Slice 32 of 155.
FLAIR MR image.
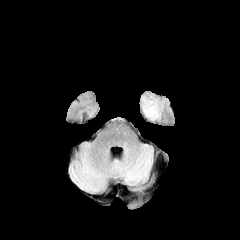
T1-weighted MR image.
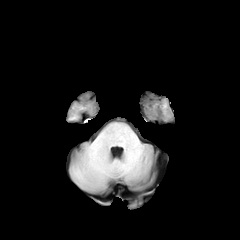
Post-contrast T1-weighted MRI.
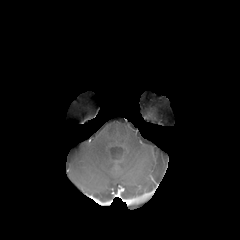
T2-weighted magnetic resonance.
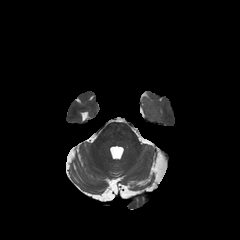
peritumoral edema: bbox(142, 97, 162, 120)